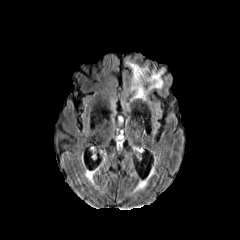
FLAIR MRI.
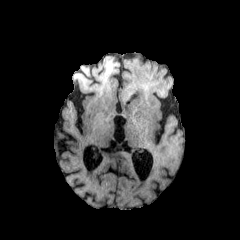
Same slice, T1-weighted magnetic resonance.
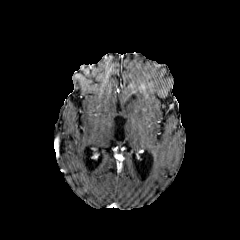
Same slice, post-contrast T1-weighted MR image.
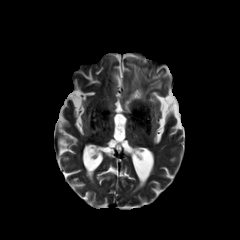
T2-weighted MR image.
Image size 240x240
Findings:
- peritumoral edema: box(127, 62, 163, 100)